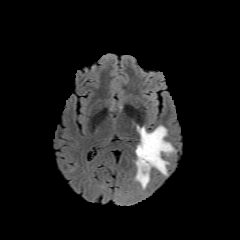
FLAIR MR image.
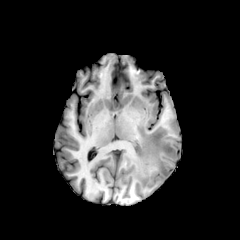
T1-weighted magnetic resonance.
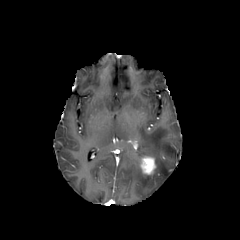
Post-contrast T1-weighted MR image.
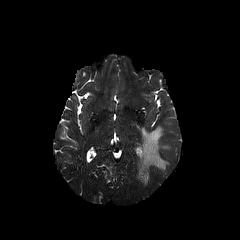
T2-weighted MR image.
Head. Axial plane.
enhancing tumor: bounding box box(140, 156, 155, 174)
peritumoral edema: bounding box box(135, 126, 173, 188)